240x240. Brain. Axial view.
FLAIR MR.
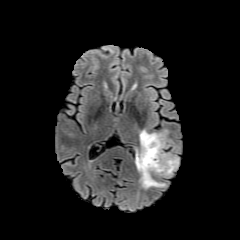
T1-weighted MRI.
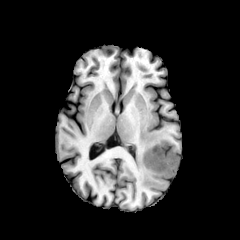
Post-contrast T1-weighted MR image.
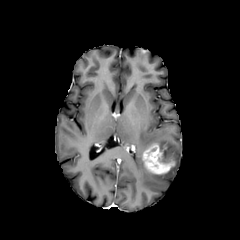
T2-weighted MR.
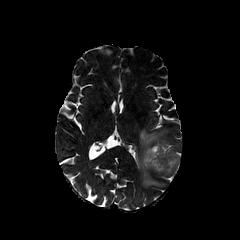
peritumoral edema: bounding box x1=135 y1=129 x2=169 y2=188, x1=162 y1=152 x2=178 y2=176
enhancing tumor: bounding box x1=142 y1=143 x2=175 y2=174